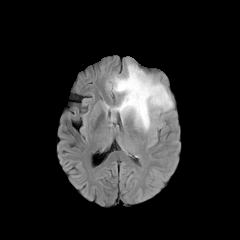
FLAIR MR.
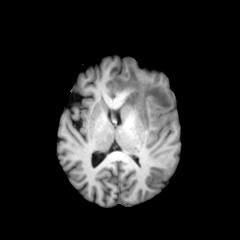
Same slice, T1-weighted MR.
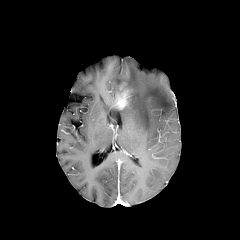
Same slice, post-contrast T1-weighted MRI.
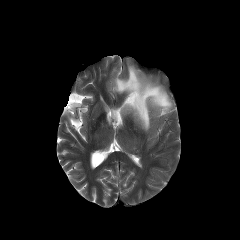
Same slice, T2-weighted MR.
Brain
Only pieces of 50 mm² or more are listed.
peritumoral_edema:
  - 112,64,172,131
enhancing_tumor:
  - 119,100,127,108